Slice 55/155 | 240x240
FLAIR MRI.
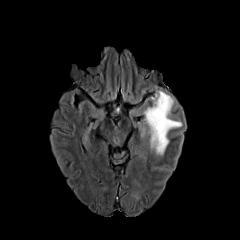
T1-weighted MR image.
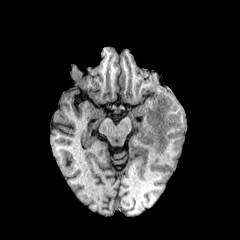
Post-contrast T1-weighted MR image.
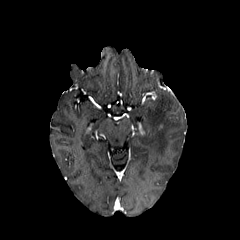
T2-weighted MR image.
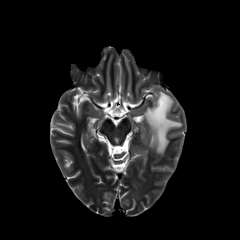
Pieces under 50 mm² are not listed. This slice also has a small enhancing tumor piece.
Annotated regions:
• peritumoral edema: 144:91:182:155